Brain. Axial slice.
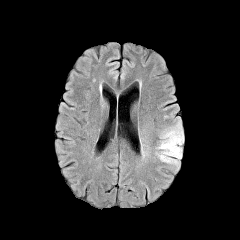
FLAIR MRI.
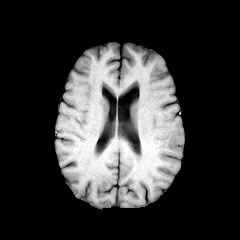
T1-weighted MRI.
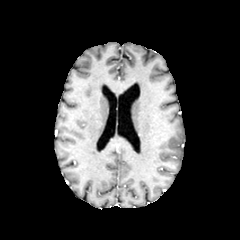
Post-contrast T1-weighted MR.
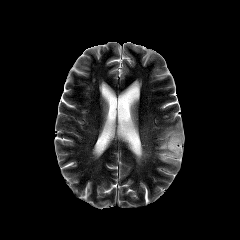
T2-weighted MR of the same slice.
peritumoral edema — l=158, t=122, r=183, b=165